Axial plane; Slice 106/155
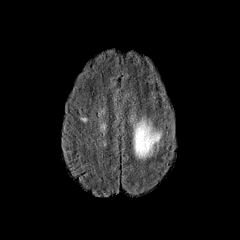
FLAIR MR.
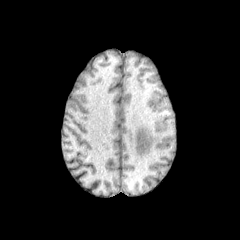
T1-weighted MR image.
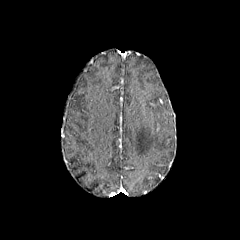
Post-contrast T1-weighted MR image.
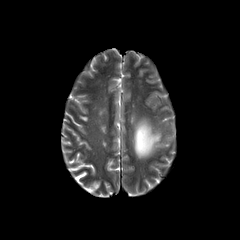
T2-weighted MR.
Segmented structures:
- peritumoral edema: box(134, 120, 160, 158)